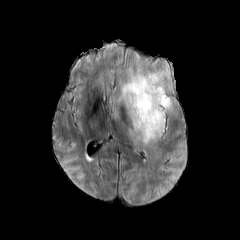
FLAIR MRI.
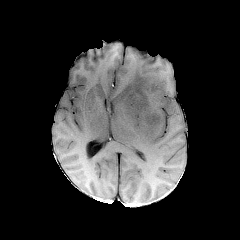
T1-weighted MR image.
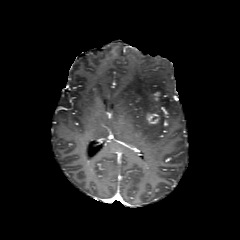
Same slice, post-contrast T1-weighted magnetic resonance.
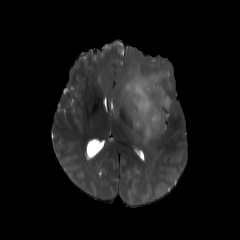
T2-weighted MRI.
Brain, Axial plane, 240x240
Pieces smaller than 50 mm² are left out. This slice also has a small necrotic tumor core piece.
<segmentation>
  <enhancing_tumor>[x1=146, y1=113, x2=159, y2=124]</enhancing_tumor>
  <peritumoral_edema>[x1=116, y1=66, x2=172, y2=144]</peritumoral_edema>
</segmentation>